240x240.
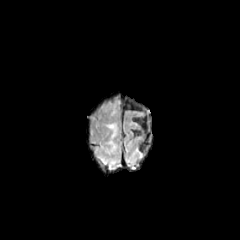
FLAIR MRI.
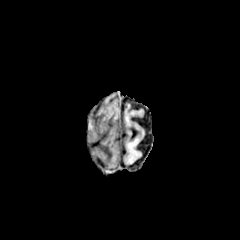
T1-weighted MR image.
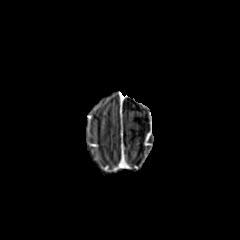
Same slice, post-contrast T1-weighted MR.
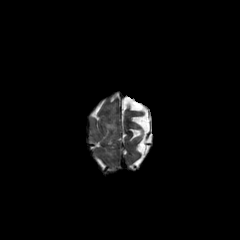
T2-weighted MRI of the same slice.
{"peritumoral_edema": ["106, 123, 116, 131"]}